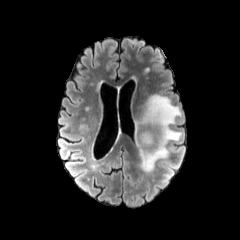
FLAIR MRI.
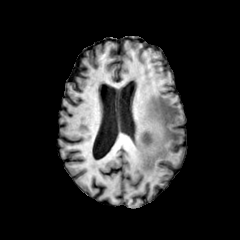
T1-weighted magnetic resonance.
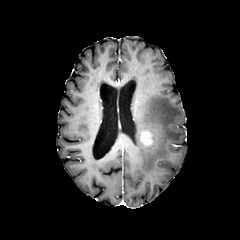
Post-contrast T1-weighted MR image.
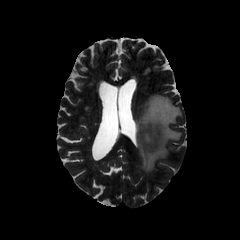
T2-weighted MRI.
enhancing tumor = box=[139, 129, 154, 147]
peritumoral edema = box=[135, 94, 181, 171]